240x240 px, Axial view
FLAIR magnetic resonance.
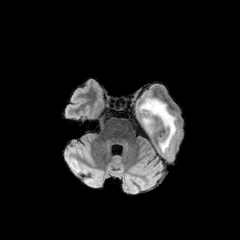
T1-weighted MR.
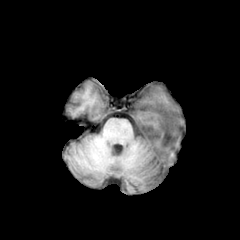
Post-contrast T1-weighted MR image.
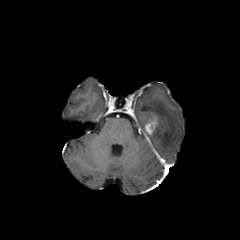
T2-weighted magnetic resonance.
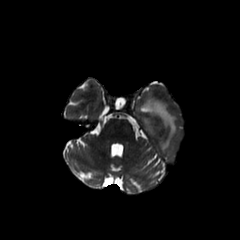
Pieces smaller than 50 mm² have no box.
The enhancing tumor is bounded by bbox=[144, 115, 158, 136]. The largest peritumoral edema region is at bbox=[140, 98, 177, 153].